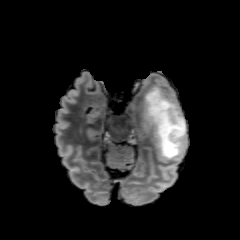
FLAIR MR.
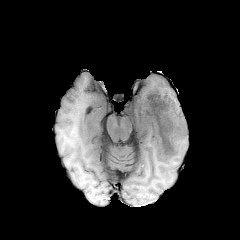
T1-weighted MR image.
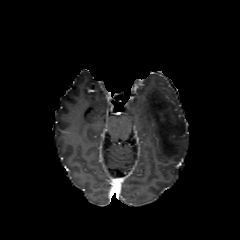
Post-contrast T1-weighted MRI.
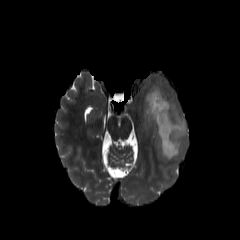
T2-weighted magnetic resonance.
240x240 px | Brain
- peritumoral edema: (left=143, top=86, right=186, bottom=161)